Axial plane, Brain, Image covers 240 mm x 240 mm
FLAIR MRI.
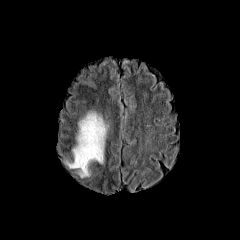
T1-weighted MR image.
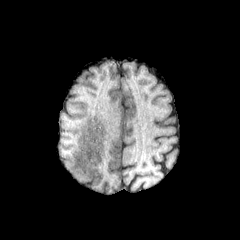
Post-contrast T1-weighted MRI.
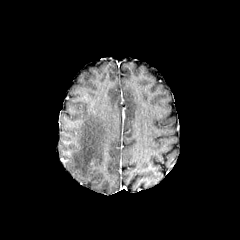
T2-weighted MRI.
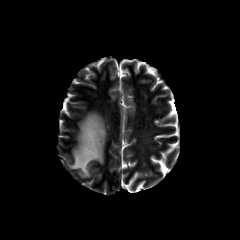
<segmentation>
  <peritumoral_edema>left=63, top=111, right=108, bottom=177</peritumoral_edema>
</segmentation>